Axial slice. Slice 51/155.
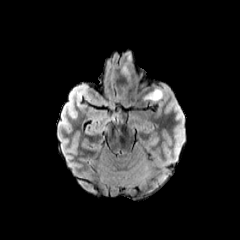
FLAIR MR.
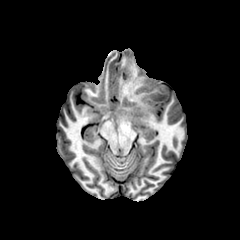
T1-weighted magnetic resonance of the same slice.
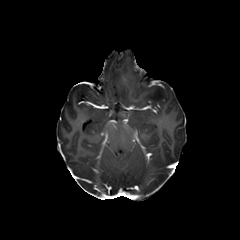
Post-contrast T1-weighted MRI.
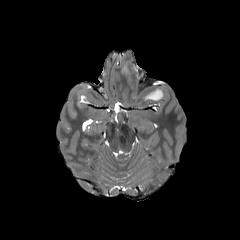
T2-weighted MR of the same slice.
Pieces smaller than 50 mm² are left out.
Findings:
* peritumoral edema: l=144, t=89, r=163, b=101